Axial plane. Slice index 60.
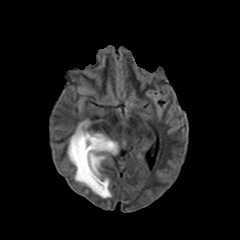
FLAIR MRI.
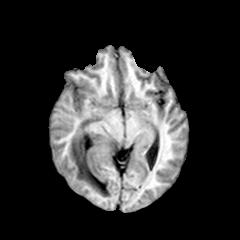
Same slice, T1-weighted MR image.
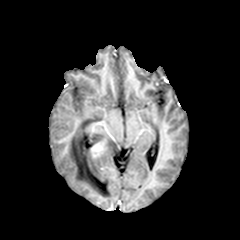
Same slice, post-contrast T1-weighted magnetic resonance.
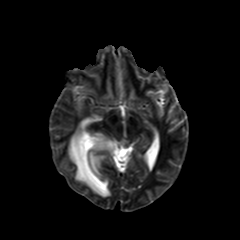
T2-weighted MR of the same slice.
enhancing_tumor:
  - bbox(90, 141, 105, 158)
peritumoral_edema:
  - bbox(68, 119, 117, 197)